FLAIR MR image.
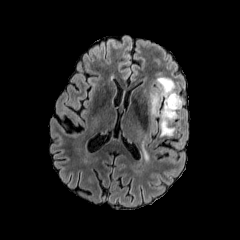
T1-weighted MR.
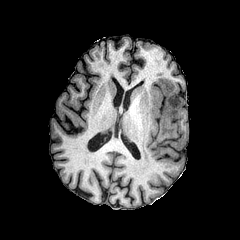
Post-contrast T1-weighted MR image.
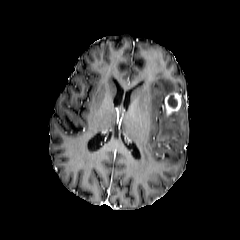
T2-weighted MRI.
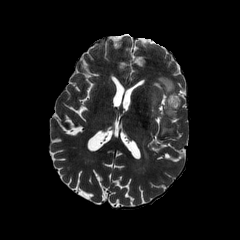
Head.
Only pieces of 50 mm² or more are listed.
Findings:
* peritumoral edema: (x1=142, y1=141, x2=148, y2=159), (x1=151, y1=95, x2=158, y2=113), (x1=161, y1=104, x2=177, y2=135), (x1=157, y1=77, x2=176, y2=95)
* necrotic tumor core: (x1=167, y1=95, x2=177, y2=107)
* enhancing tumor: (x1=164, y1=92, x2=181, y2=117)